FLAIR MRI.
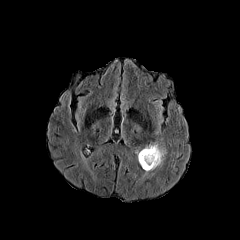
T1-weighted MR image.
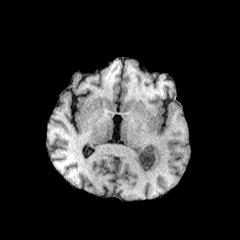
Post-contrast T1-weighted MR image.
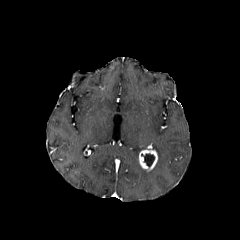
T2-weighted MR.
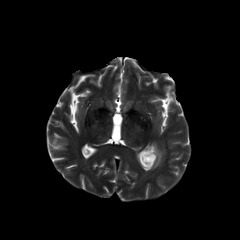
Axial view
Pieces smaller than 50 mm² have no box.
necrotic tumor core: bounding box <bbox>141, 153, 154, 167</bbox>
enhancing tumor: bounding box <bbox>139, 144, 157, 171</bbox>
peritumoral edema: bounding box <bbox>152, 143, 166, 168</bbox>